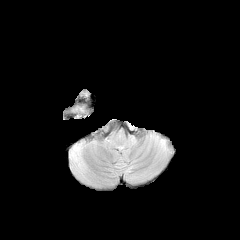
FLAIR MRI.
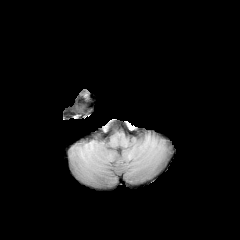
T1-weighted MR image.
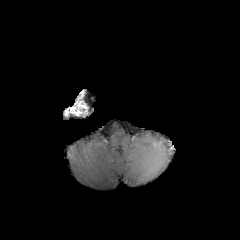
Post-contrast T1-weighted magnetic resonance.
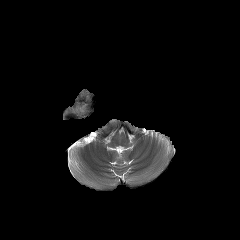
T2-weighted MR.
Head
enhancing tumor: (66,102,86,115)